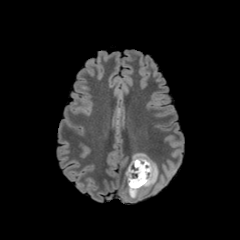
FLAIR MR image.
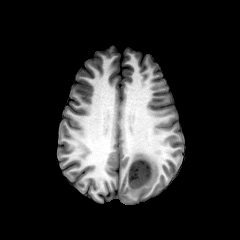
T1-weighted MR image of the same slice.
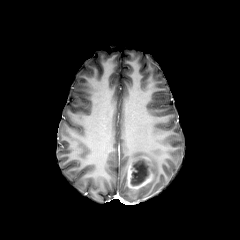
Post-contrast T1-weighted magnetic resonance.
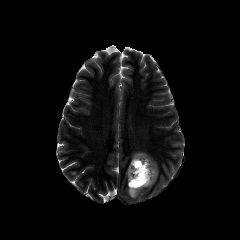
T2-weighted MR of the same slice.
Brain
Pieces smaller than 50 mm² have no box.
- enhancing tumor: [127,158,153,190]
- peritumoral edema: [128,152,158,198]
- necrotic tumor core: [130,158,148,185]